Brain.
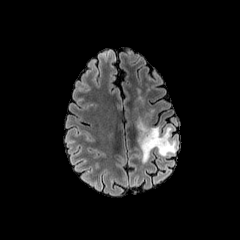
FLAIR MRI.
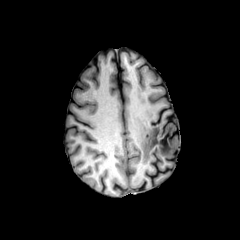
T1-weighted magnetic resonance of the same slice.
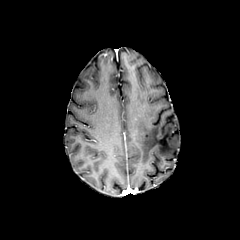
Post-contrast T1-weighted MRI of the same slice.
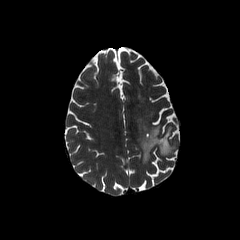
T2-weighted MRI of the same slice.
peritumoral edema: (left=138, top=122, right=176, bottom=163)